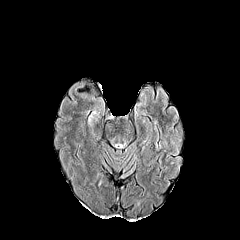
FLAIR magnetic resonance.
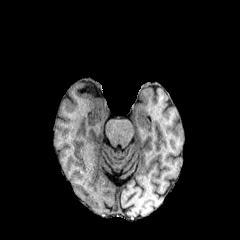
Same slice, T1-weighted MR.
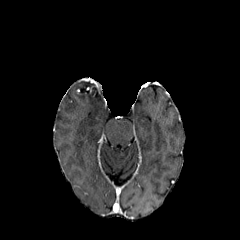
Post-contrast T1-weighted magnetic resonance of the same slice.
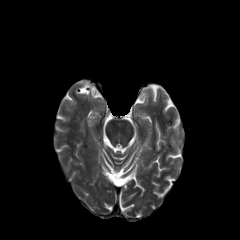
T2-weighted magnetic resonance of the same slice.
Image size 240x240; Axial slice; Head
Findings:
• peritumoral edema: 88, 111, 98, 126